FLAIR MRI.
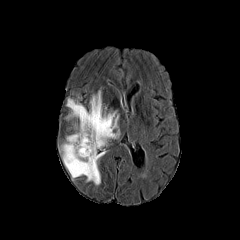
T1-weighted magnetic resonance.
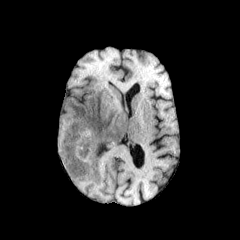
Post-contrast T1-weighted MRI.
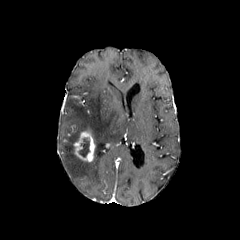
T2-weighted MR.
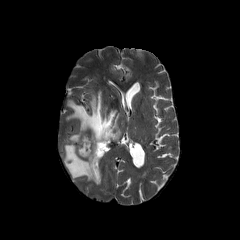
Axial plane | Head | 240x240
{"necrotic_tumor_core": ["left=79, top=138, right=89, bottom=157"], "peritumoral_edema": ["left=62, top=91, right=120, bottom=184"], "enhancing_tumor": ["left=74, top=131, right=95, bottom=161"]}